Axial slice; Slice 87 of 155
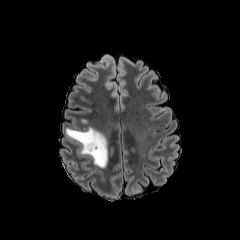
FLAIR MR.
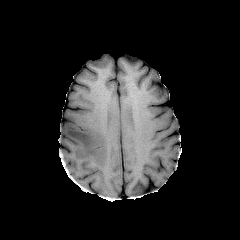
T1-weighted MR of the same slice.
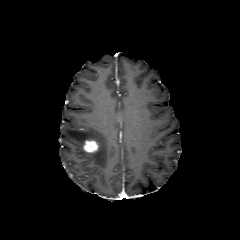
Post-contrast T1-weighted MRI.
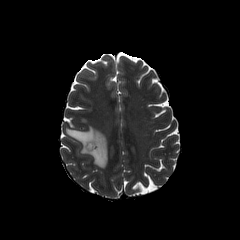
Same slice, T2-weighted MR.
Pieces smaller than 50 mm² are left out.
enhancing tumor: l=83, t=140, r=99, b=153 | peritumoral edema: l=65, t=127, r=107, b=168